Axial view; Head; Slice 33 of 155
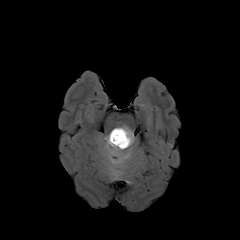
FLAIR MR image.
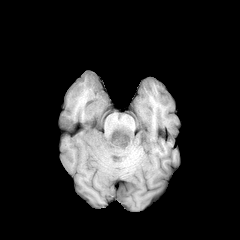
T1-weighted magnetic resonance.
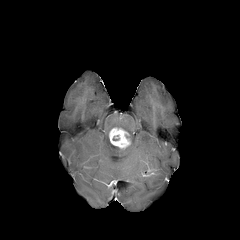
Post-contrast T1-weighted MR image.
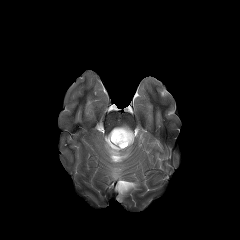
Same slice, T2-weighted MR.
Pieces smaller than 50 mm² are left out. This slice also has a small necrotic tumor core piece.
enhancing tumor at region(109, 128, 130, 148)
peritumoral edema at region(102, 125, 134, 178)